Head | Axial slice
FLAIR MRI.
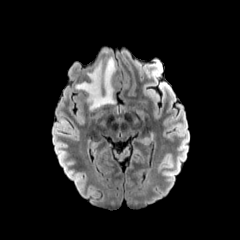
T1-weighted MR image.
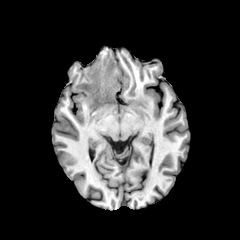
Post-contrast T1-weighted MRI.
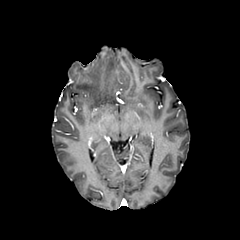
T2-weighted MR image.
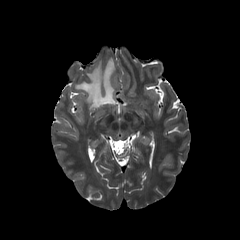
* peritumoral edema: (75,57,115,109)